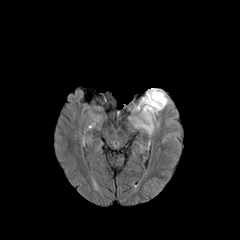
FLAIR MR image.
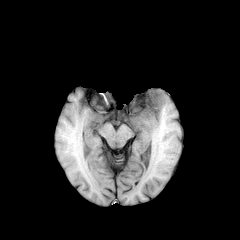
T1-weighted magnetic resonance of the same slice.
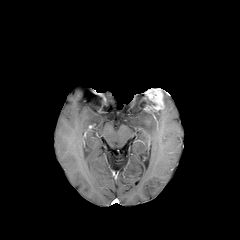
Post-contrast T1-weighted magnetic resonance of the same slice.
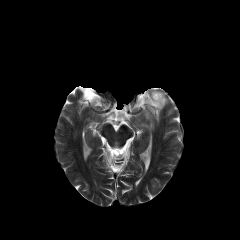
Same slice, T2-weighted MR image.
Head, Axial view, Image size 240x240
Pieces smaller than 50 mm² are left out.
{"enhancing_tumor": ["box(142, 88, 164, 112)"], "peritumoral_edema": ["box(134, 99, 157, 134)"]}